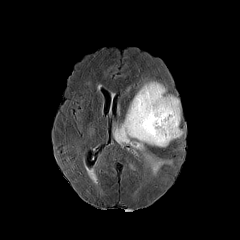
FLAIR MR.
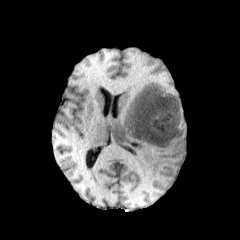
T1-weighted MR of the same slice.
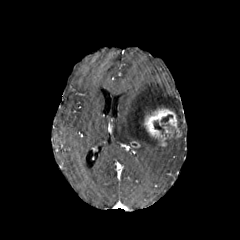
Same slice, post-contrast T1-weighted MRI.
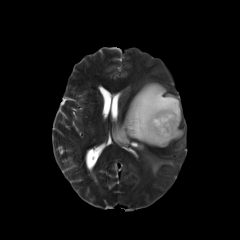
Same slice, T2-weighted MRI.
Head; Axial slice
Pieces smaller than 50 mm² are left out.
enhancing tumor: (x1=130, y1=141, x2=140, y2=147), (x1=143, y1=107, x2=182, y2=146) | peritumoral edema: (x1=113, y1=81, x2=180, y2=174) | necrotic tumor core: (x1=154, y1=122, x2=164, y2=133)